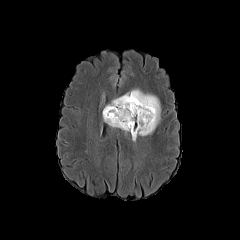
FLAIR MR.
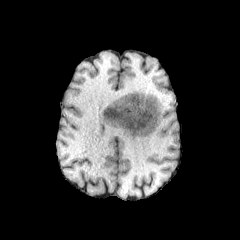
T1-weighted magnetic resonance of the same slice.
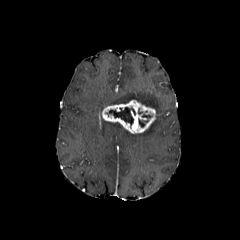
Same slice, post-contrast T1-weighted MR image.
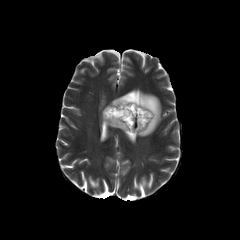
T2-weighted MR.
Head, 240x240 px, Axial slice
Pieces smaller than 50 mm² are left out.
The enhancing tumor is bounded by left=102, top=99, right=156, bottom=133. The largest necrotic tumor core region is bounded by left=106, top=107, right=135, bottom=125. 2 peritumoral edema regions appear at left=104, top=120, right=128, bottom=133; left=107, top=89, right=160, bottom=141.